FLAIR MRI.
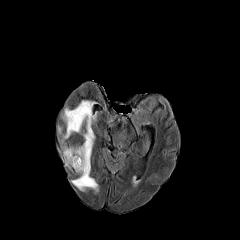
T1-weighted magnetic resonance.
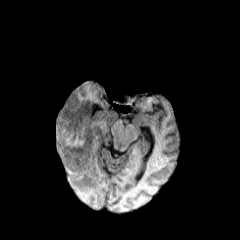
Post-contrast T1-weighted magnetic resonance.
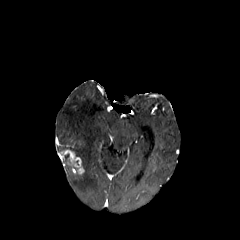
T2-weighted MR.
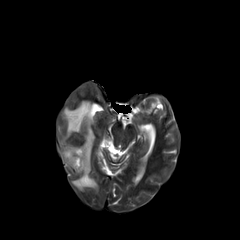
240x240 px; Brain; Axial plane
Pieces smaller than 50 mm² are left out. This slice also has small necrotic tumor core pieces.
The 2 largest peritumoral edema regions are located at <box>131,176,140,186</box>, <box>63,100,98,192</box>. The enhancing tumor is bounded by <box>59,149,84,173</box>.